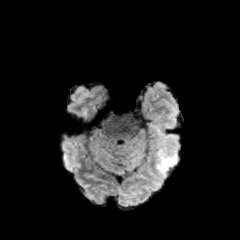
FLAIR MRI.
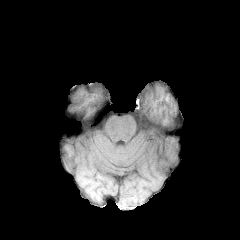
T1-weighted MRI.
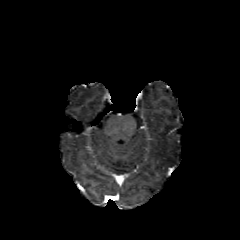
Post-contrast T1-weighted MR of the same slice.
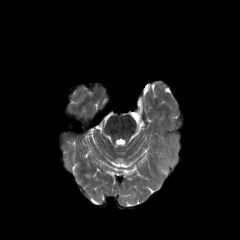
T2-weighted MR of the same slice.
240x240 px.
peritumoral edema: l=155, t=134, r=179, b=175